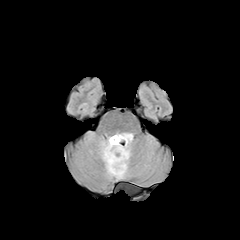
FLAIR magnetic resonance.
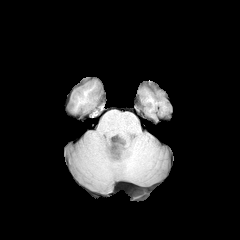
T1-weighted MR.
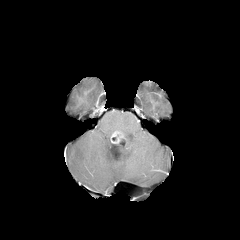
Same slice, post-contrast T1-weighted magnetic resonance.
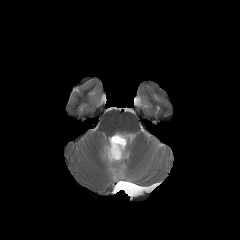
T2-weighted MRI.
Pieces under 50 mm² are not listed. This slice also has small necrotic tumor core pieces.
peritumoral edema: bounding box x1=100, y1=133, x2=132, y2=179
enhancing tumor: bounding box x1=111, y1=133, x2=123, y2=144